FLAIR MR image.
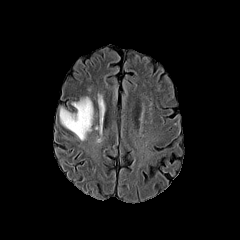
T1-weighted MR image.
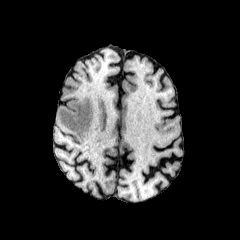
Post-contrast T1-weighted MRI.
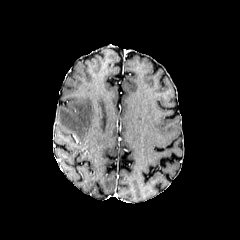
T2-weighted MR.
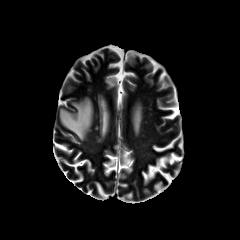
Axial plane
The peritumoral edema is located at (59, 97, 93, 140).